FLAIR MR image.
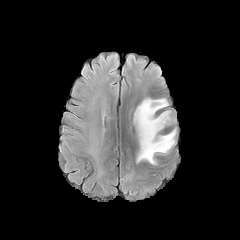
T1-weighted MR.
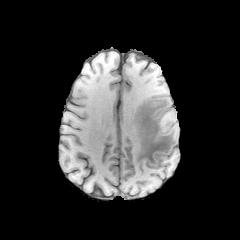
Post-contrast T1-weighted MR image.
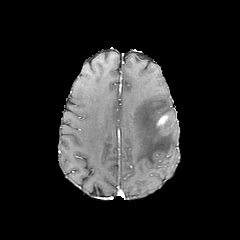
T2-weighted MR image.
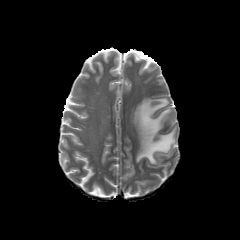
Image size 240x240. Brain. Axial plane.
peritumoral_edema:
  - region(133, 98, 176, 164)
enhancing_tumor:
  - region(156, 114, 168, 127)